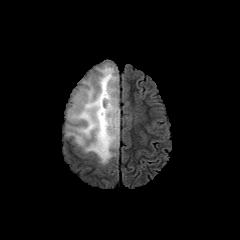
FLAIR MR.
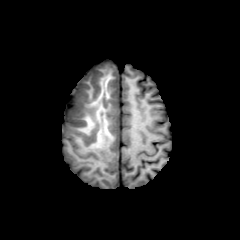
T1-weighted MRI of the same slice.
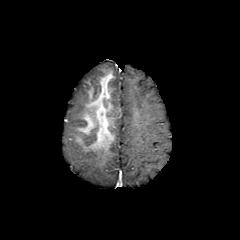
Post-contrast T1-weighted MR.
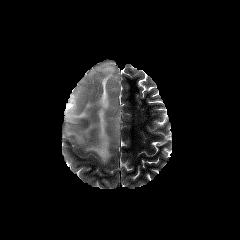
Same slice, T2-weighted magnetic resonance.
Axial view; 240x240; Head
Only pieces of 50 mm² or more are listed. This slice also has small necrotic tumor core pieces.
enhancing tumor — (x1=96, y1=90, x2=112, y2=118)
peritumoral edema — (x1=64, y1=63, x2=119, y2=164)